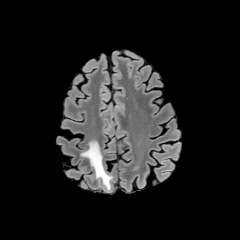
FLAIR magnetic resonance.
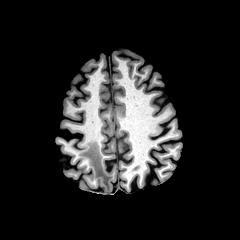
T1-weighted MRI of the same slice.
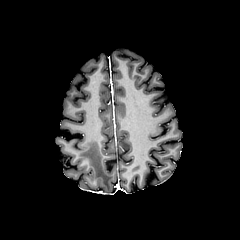
Post-contrast T1-weighted magnetic resonance of the same slice.
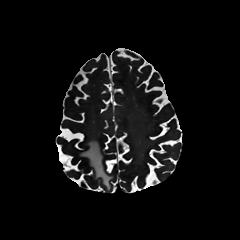
T2-weighted MRI of the same slice.
Head
peritumoral edema at (left=81, top=141, right=112, bottom=189)